Axial plane. Slice 67 of 155.
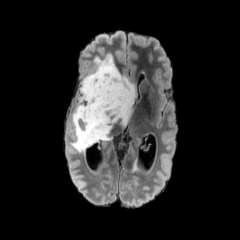
FLAIR MRI.
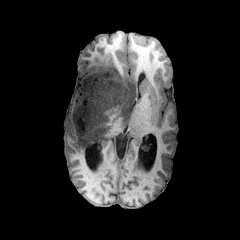
Same slice, T1-weighted MRI.
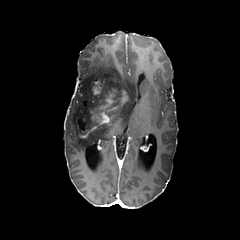
Post-contrast T1-weighted MR image.
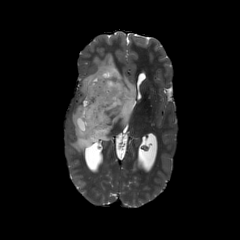
T2-weighted MR.
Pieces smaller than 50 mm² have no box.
peritumoral edema = 70:53:136:153
necrotic tumor core = 78:119:84:130
enhancing tumor = 121:90:127:104, 76:118:96:137, 92:73:104:94, 99:93:114:109, 92:111:109:124